Head, Axial slice
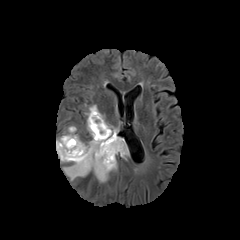
FLAIR MR image.
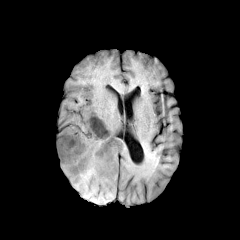
Same slice, T1-weighted magnetic resonance.
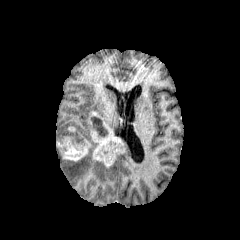
Post-contrast T1-weighted magnetic resonance.
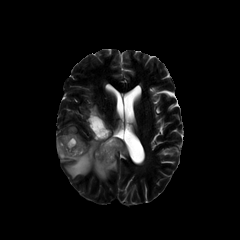
T2-weighted MR image.
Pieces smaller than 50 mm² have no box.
The 5 largest peritumoral edema regions are located at bbox=[106, 123, 118, 135]; bbox=[85, 105, 105, 133]; bbox=[116, 139, 128, 157]; bbox=[56, 138, 117, 181]; bbox=[57, 130, 85, 142]. The 2 largest enhancing tumor regions are located at bbox=[88, 111, 121, 167]; bbox=[56, 136, 90, 161]. The necrotic tumor core appears at bbox=[90, 116, 105, 136].